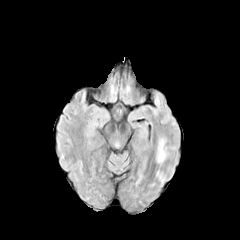
FLAIR MR image.
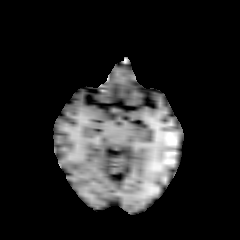
T1-weighted MR.
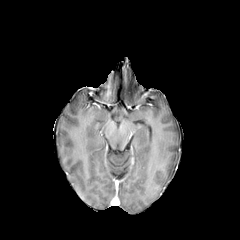
Post-contrast T1-weighted MR image of the same slice.
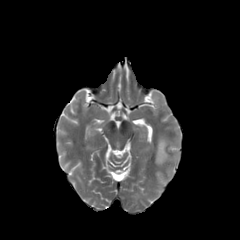
T2-weighted MRI.
The peritumoral edema is at x1=157 y1=139 x2=167 y2=163.